240x240 px; Slice index 57; Axial view; Image width 240 mm, 1.00 mm slice spacing
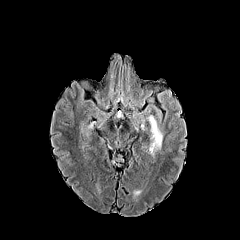
FLAIR MR.
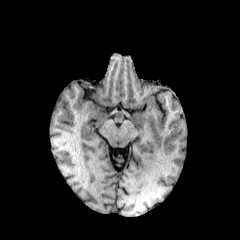
Same slice, T1-weighted MRI.
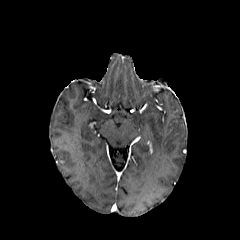
Post-contrast T1-weighted MR image.
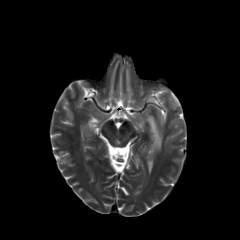
Same slice, T2-weighted MR.
peritumoral edema at region(147, 115, 162, 150)